FLAIR magnetic resonance.
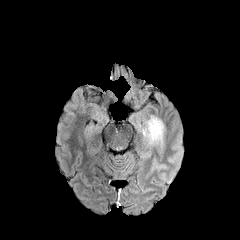
T1-weighted magnetic resonance.
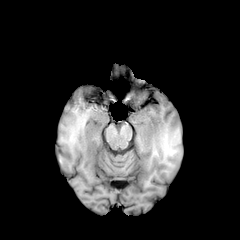
Post-contrast T1-weighted magnetic resonance.
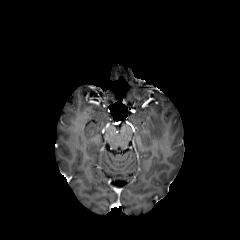
T2-weighted MR image.
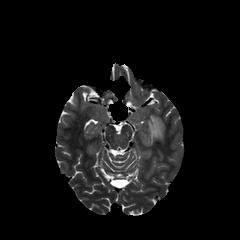
Brain, Axial slice
peritumoral edema: bounding box region(144, 116, 164, 143)